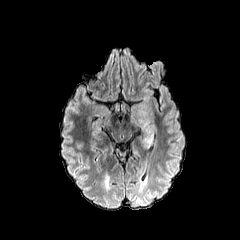
FLAIR magnetic resonance.
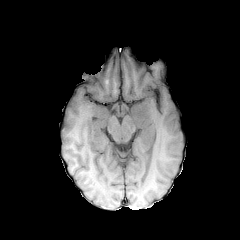
T1-weighted MR image.
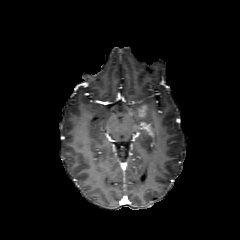
Same slice, post-contrast T1-weighted MR.
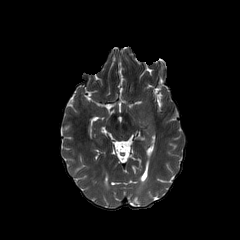
T2-weighted MR.
Axial view, Brain
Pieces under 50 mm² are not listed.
The largest peritumoral edema region is located at 138, 109, 153, 124. The enhancing tumor is located at 137, 105, 147, 117.